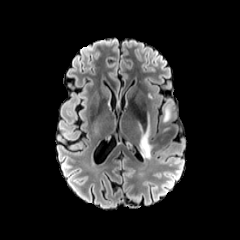
FLAIR MRI.
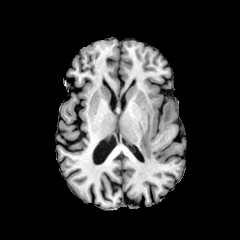
Same slice, T1-weighted MR.
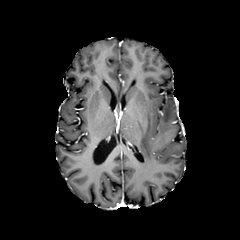
Post-contrast T1-weighted MR of the same slice.
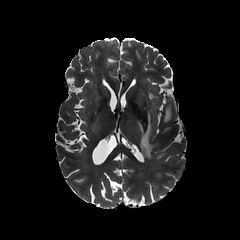
T2-weighted MRI of the same slice.
240x240.
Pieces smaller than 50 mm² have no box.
Segmented structures:
* peritumoral edema: 138,110,152,159; 163,102,171,122